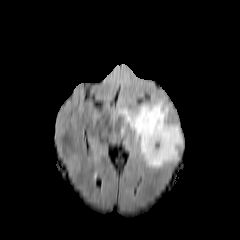
FLAIR MR.
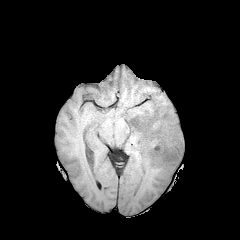
Same slice, T1-weighted magnetic resonance.
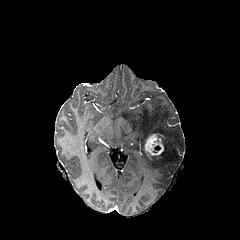
Post-contrast T1-weighted magnetic resonance.
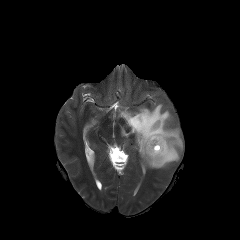
T2-weighted MR.
Axial slice
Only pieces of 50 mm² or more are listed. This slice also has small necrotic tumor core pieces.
The enhancing tumor is at 144,133,164,156. The largest peritumoral edema region is located at 119,100,182,168.